240x240 px | Axial view
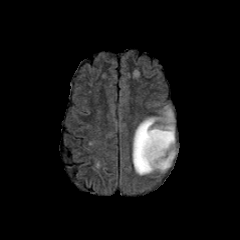
FLAIR magnetic resonance.
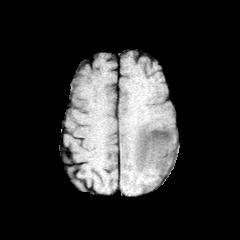
T1-weighted magnetic resonance of the same slice.
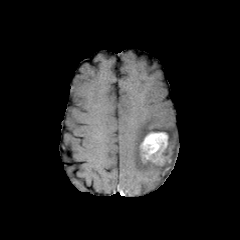
Same slice, post-contrast T1-weighted MRI.
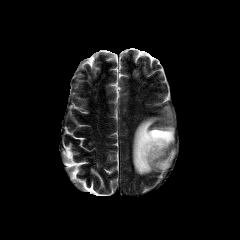
T2-weighted MR.
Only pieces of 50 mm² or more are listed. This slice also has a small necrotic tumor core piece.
- peritumoral edema: [132,106,176,175]
- enhancing tumor: [140,131,170,165]